FLAIR magnetic resonance.
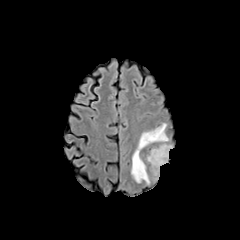
T1-weighted MR image.
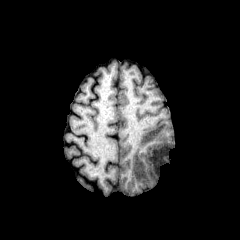
Post-contrast T1-weighted MR image.
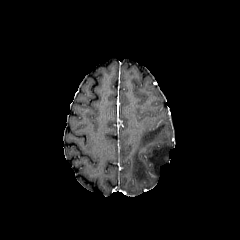
T2-weighted magnetic resonance.
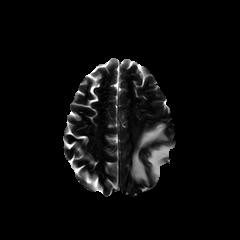
peritumoral edema — (left=147, top=144, right=172, bottom=176), (left=131, top=123, right=168, bottom=184)